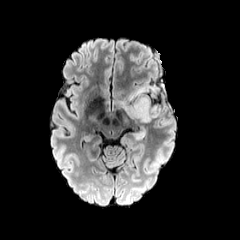
FLAIR MR.
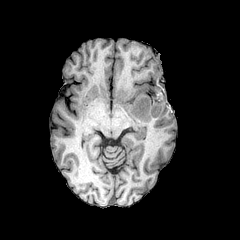
T1-weighted MR.
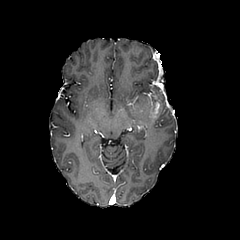
Post-contrast T1-weighted MRI of the same slice.
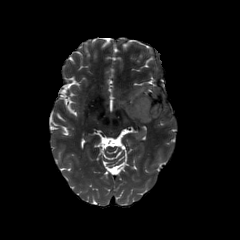
T2-weighted magnetic resonance.
Head
peritumoral edema: bounding box (x1=122, y1=89, x2=151, y2=123), (x1=133, y1=126, x2=146, y2=140)
enhancing tumor: bounding box (x1=133, y1=102, x2=160, y2=118)